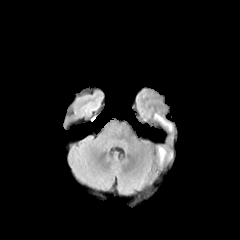
FLAIR MR image.
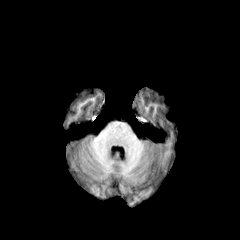
T1-weighted MRI.
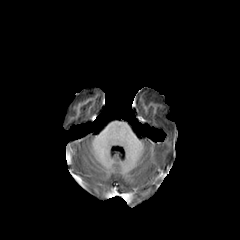
Post-contrast T1-weighted MR image of the same slice.
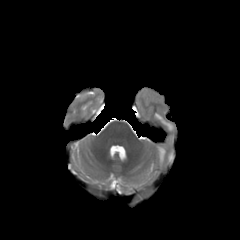
T2-weighted MRI.
240x240.
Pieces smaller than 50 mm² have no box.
The 2 largest peritumoral edema regions are located at [158,147,165,162], [155,114,171,129].